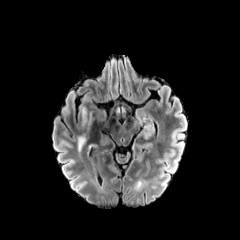
FLAIR magnetic resonance.
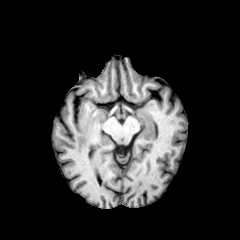
T1-weighted magnetic resonance.
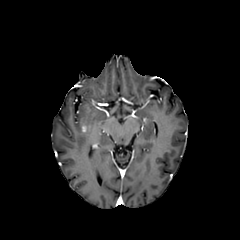
Same slice, post-contrast T1-weighted MRI.
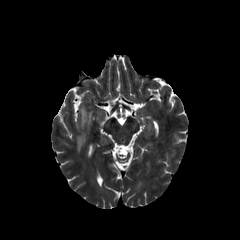
T2-weighted magnetic resonance.
Axial view; Brain
{"peritumoral_edema": ["rect(81, 107, 91, 125)", "rect(78, 133, 86, 150)"], "enhancing_tumor": ["rect(82, 124, 90, 132)"]}